Axial slice | Slice index 64 | Image size 240x240 | Image width 240 mm, 1.00 mm slice spacing
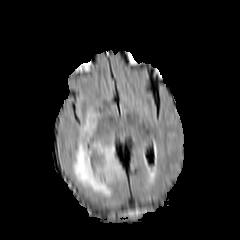
FLAIR MR image.
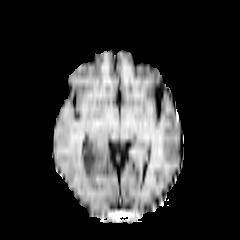
T1-weighted magnetic resonance.
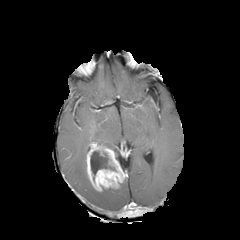
Post-contrast T1-weighted MR image of the same slice.
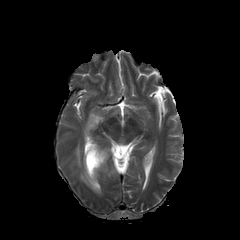
T2-weighted MRI.
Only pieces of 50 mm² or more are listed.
{"peritumoral_edema": ["(x1=73, y1=109, x2=111, y2=196)"], "enhancing_tumor": ["(x1=85, y1=142, x2=125, y2=191)"], "necrotic_tumor_core": ["(x1=90, y1=151, x2=110, y2=174)"]}